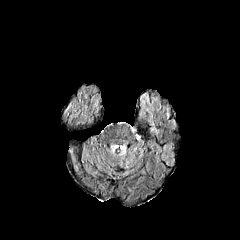
FLAIR MR.
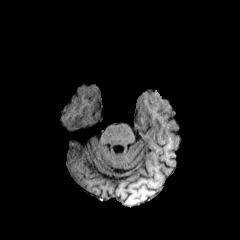
T1-weighted MRI.
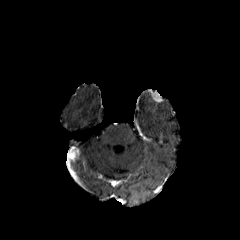
Post-contrast T1-weighted magnetic resonance.
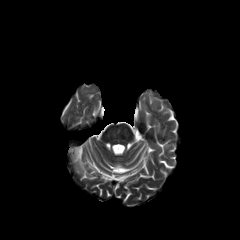
T2-weighted MRI.
240x240 px | Axial slice
enhancing_tumor:
  - [68, 147, 79, 158]